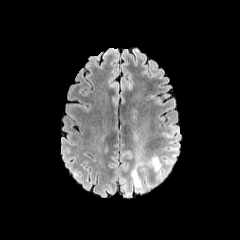
FLAIR magnetic resonance.
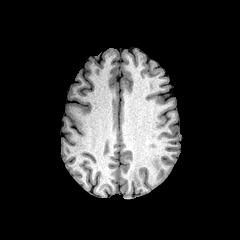
Same slice, T1-weighted MR.
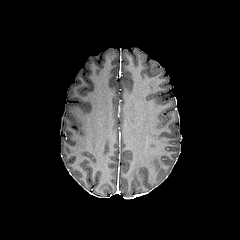
Post-contrast T1-weighted magnetic resonance.
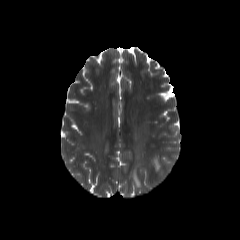
T2-weighted magnetic resonance of the same slice.
Axial plane. Head.
<segmentation>
  <peritumoral_edema>bbox(131, 155, 161, 189); bbox(163, 155, 174, 176)</peritumoral_edema>
</segmentation>